Axial slice
FLAIR MR image.
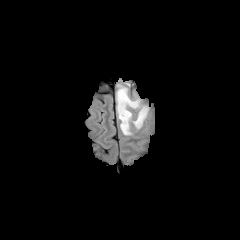
T1-weighted MR image.
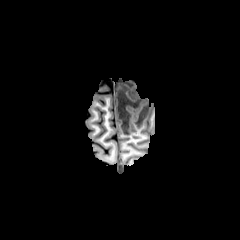
Post-contrast T1-weighted magnetic resonance.
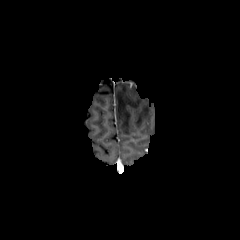
T2-weighted MR.
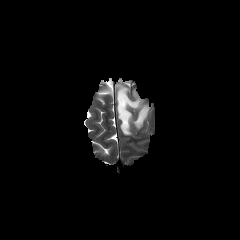
<segmentation>
  <peritumoral_edema>box=[116, 84, 148, 135]</peritumoral_edema>
</segmentation>